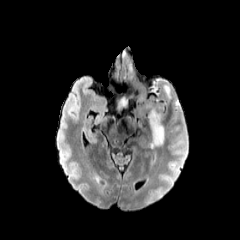
FLAIR MR.
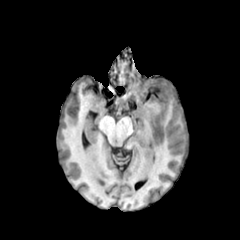
T1-weighted MRI.
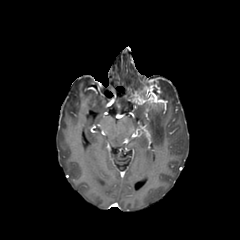
Post-contrast T1-weighted MR of the same slice.
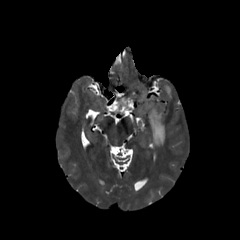
T2-weighted MR image.
Brain, Axial slice
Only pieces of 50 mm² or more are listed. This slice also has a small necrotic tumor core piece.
peritumoral edema at (left=147, top=102, right=165, bottom=147), (left=153, top=79, right=171, bottom=104)
enhancing tumor at (left=136, top=81, right=166, bottom=106)